FLAIR MRI.
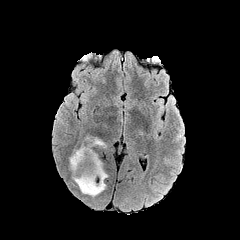
T1-weighted MRI.
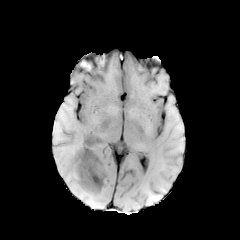
Post-contrast T1-weighted MR image.
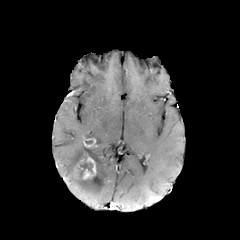
T2-weighted magnetic resonance.
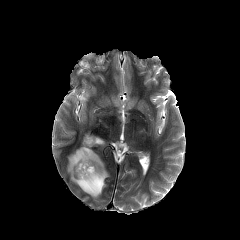
Axial slice.
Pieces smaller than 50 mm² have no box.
enhancing_tumor:
  - x1=76 y1=153 x2=96 y2=179
  - x1=83 y1=138 x2=96 y2=147
peritumoral_edema:
  - x1=68 y1=143 x2=108 y2=197
  - x1=84 y1=135 x2=106 y2=147
necrotic_tumor_core:
  - x1=74 y1=152 x2=92 y2=177